Axial plane | Brain
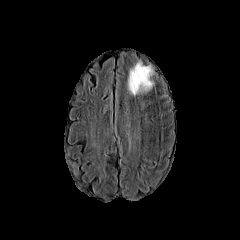
FLAIR MR.
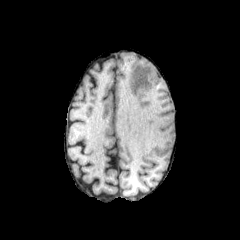
T1-weighted MR.
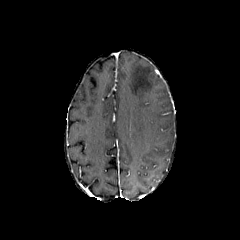
Post-contrast T1-weighted magnetic resonance.
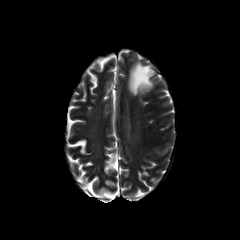
T2-weighted MRI.
Segmented structures:
• peritumoral edema: l=128, t=62, r=153, b=95